Image covers 240 mm x 240 mm, Slice 68 of 155, Axial slice
FLAIR MR image.
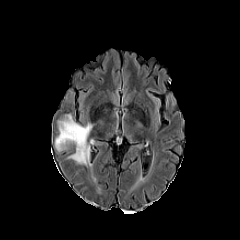
T1-weighted MRI.
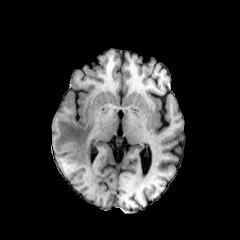
Post-contrast T1-weighted MR image.
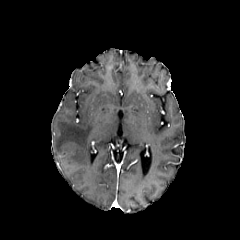
T2-weighted MRI.
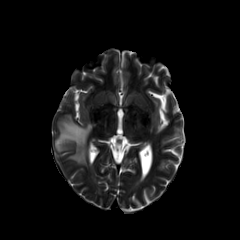
peritumoral edema: (left=55, top=114, right=92, bottom=165)